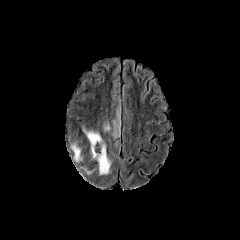
FLAIR MRI.
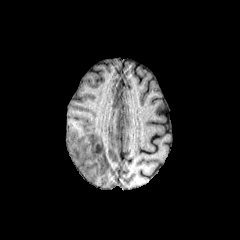
T1-weighted MRI of the same slice.
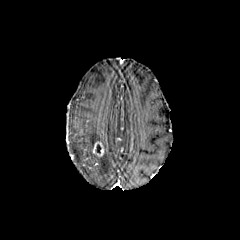
Post-contrast T1-weighted MR.
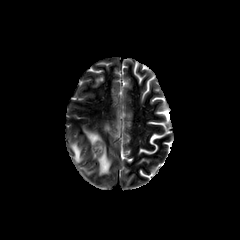
T2-weighted MR image.
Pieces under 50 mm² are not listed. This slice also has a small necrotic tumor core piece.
enhancing tumor: [92, 142, 104, 156] | peritumoral edema: [71, 143, 82, 162], [113, 113, 120, 137], [83, 128, 111, 175], [103, 123, 110, 131]